Slice 85/155 | Axial view | 240x240 px | Brain
FLAIR MR.
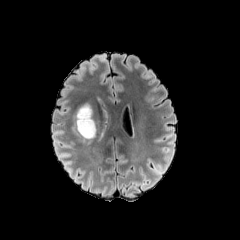
T1-weighted MRI.
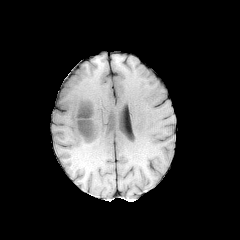
Post-contrast T1-weighted MR image.
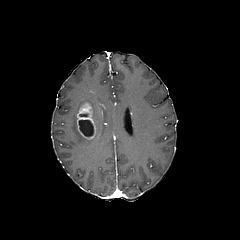
T2-weighted MRI.
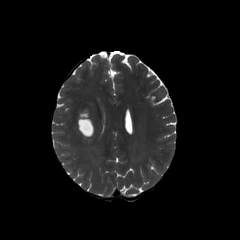
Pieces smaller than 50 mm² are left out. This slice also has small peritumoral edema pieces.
necrotic tumor core = x1=79, y1=120, x2=93, y2=136
enhancing tumor = x1=77, y1=103, x2=95, y2=139